Head, Slice index 68, Image covers 240 mm x 240 mm
FLAIR MR.
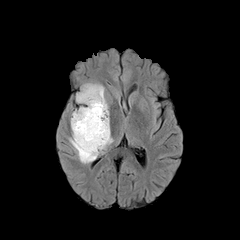
T1-weighted MR image.
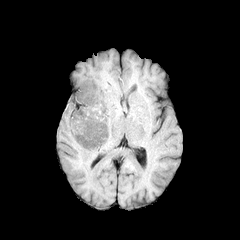
Post-contrast T1-weighted MR.
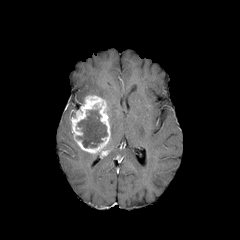
T2-weighted MRI.
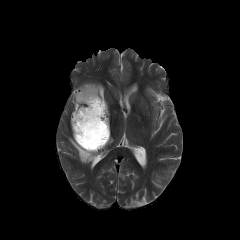
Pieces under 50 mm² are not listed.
peritumoral edema: (76, 83, 106, 103), (69, 133, 101, 163)
necrotic tumor core: (76, 110, 107, 147)
enhancing tumor: (70, 95, 110, 154)